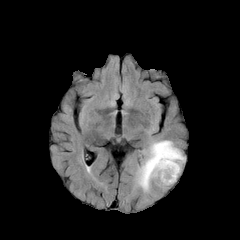
FLAIR MRI.
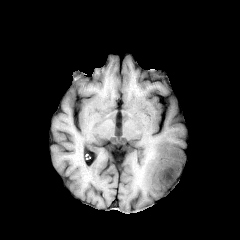
T1-weighted MRI.
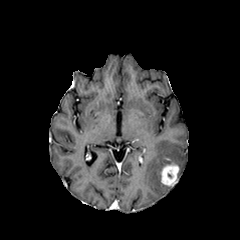
Same slice, post-contrast T1-weighted MR.
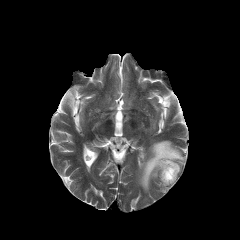
Same slice, T2-weighted magnetic resonance.
Head. Axial slice.
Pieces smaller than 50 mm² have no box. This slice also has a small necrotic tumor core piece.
Segmented structures:
- peritumoral edema: bbox(137, 140, 185, 191)
- enhancing tumor: bbox(160, 162, 179, 186)